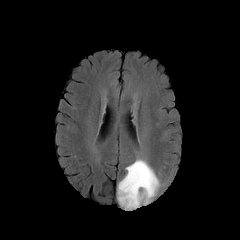
FLAIR MR.
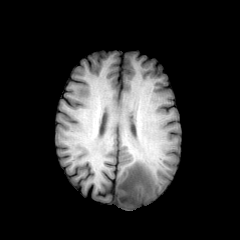
T1-weighted MR image.
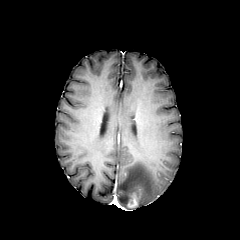
Post-contrast T1-weighted MRI of the same slice.
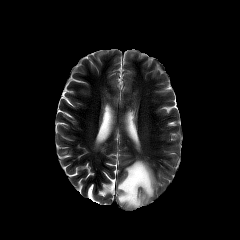
T2-weighted MR image.
Axial plane; Brain
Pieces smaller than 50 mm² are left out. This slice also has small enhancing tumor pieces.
Findings:
• peritumoral edema: box(117, 159, 160, 209)